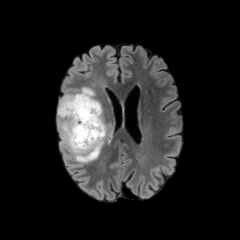
FLAIR MR.
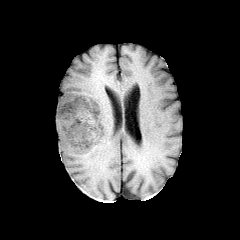
T1-weighted MRI.
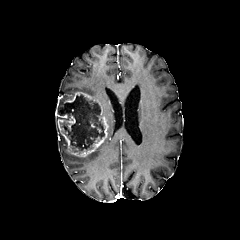
Same slice, post-contrast T1-weighted magnetic resonance.
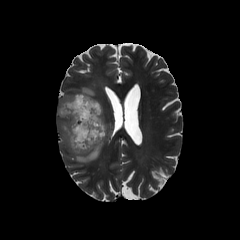
T2-weighted MR.
Brain; 240x240 px
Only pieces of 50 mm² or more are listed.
necrotic tumor core — x1=59, y1=95, x2=104, y2=153
enhancing tumor — x1=57, y1=92, x2=108, y2=156
peritumoral edema — x1=65, y1=87, x2=94, y2=96; x1=104, y1=124, x2=111, y2=142; x1=65, y1=143, x2=103, y2=163